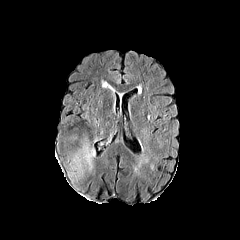
FLAIR magnetic resonance.
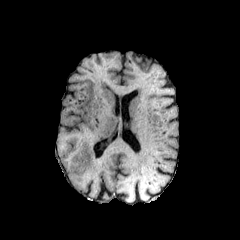
Same slice, T1-weighted MRI.
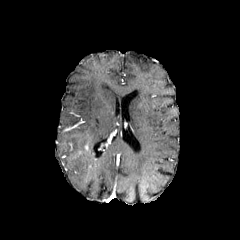
Post-contrast T1-weighted magnetic resonance.
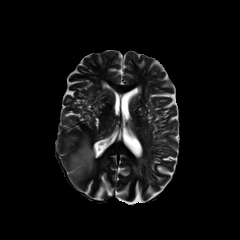
T2-weighted MR image.
240x240 px; Brain
Findings:
* peritumoral edema: (69, 141, 95, 178)